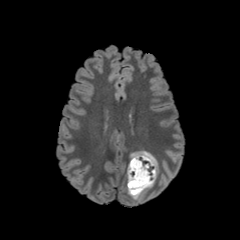
FLAIR MRI.
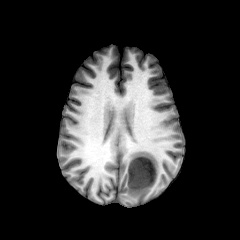
T1-weighted MRI.
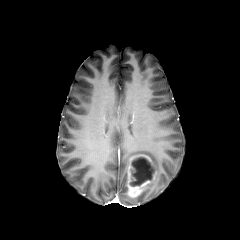
Same slice, post-contrast T1-weighted magnetic resonance.
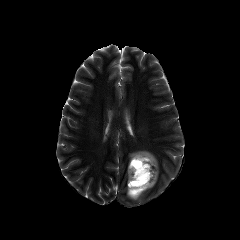
T2-weighted magnetic resonance.
Axial plane
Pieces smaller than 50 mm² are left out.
<segmentation>
  <enhancing_tumor>(127,154,156,197)</enhancing_tumor>
  <necrotic_tumor_core>(130,157,155,186)</necrotic_tumor_core>
  <peritumoral_edema>(130,151,158,188)</peritumoral_edema>
</segmentation>